FLAIR magnetic resonance.
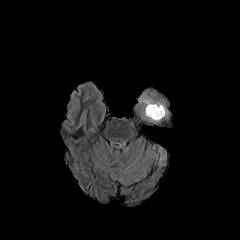
T1-weighted MR.
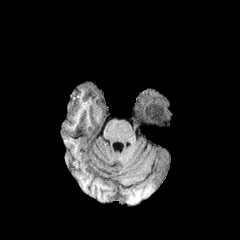
Post-contrast T1-weighted magnetic resonance.
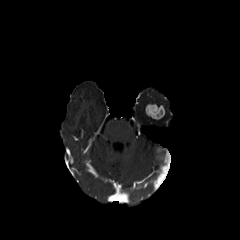
T2-weighted MRI.
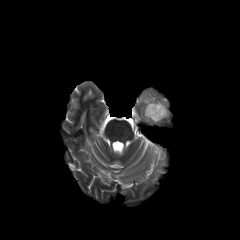
enhancing_tumor:
  - <box>145,104,164,119</box>
peritumoral_edema:
  - <box>140,89,168,121</box>